Slice 70 of 155, 240x240 px, Brain
FLAIR MR image.
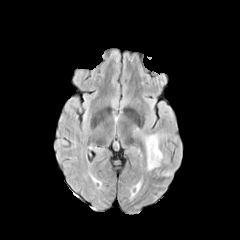
T1-weighted MR.
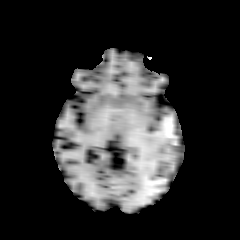
Post-contrast T1-weighted MRI.
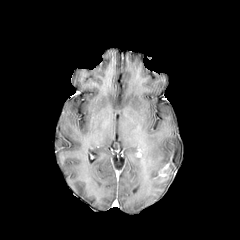
T2-weighted magnetic resonance.
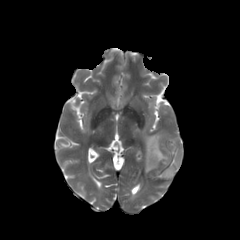
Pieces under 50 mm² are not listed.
peritumoral_edema:
  - bbox(136, 129, 167, 170)
enhancing_tumor:
  - bbox(158, 165, 170, 178)